Brain. Axial slice. Slice 91 of 155.
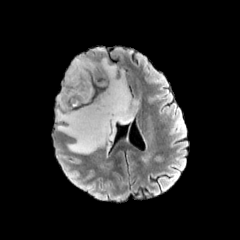
FLAIR MR image.
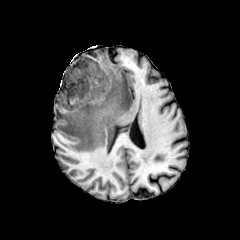
T1-weighted magnetic resonance of the same slice.
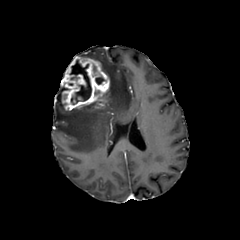
Post-contrast T1-weighted MR.
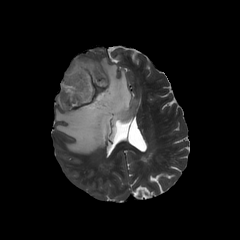
Same slice, T2-weighted MR image.
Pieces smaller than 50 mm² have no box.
{"peritumoral_edema": ["x1=56, y1=58, x2=138, y2=153", "x1=57, y1=92, x2=64, y2=109"], "enhancing_tumor": ["x1=61, y1=56, x2=109, y2=110"], "necrotic_tumor_core": ["x1=95, y1=77, x2=104, y2=84", "x1=70, y1=60, x2=91, y2=104"]}